Head; Slice index 78; 240x240 px
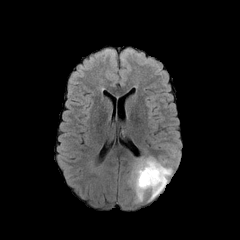
FLAIR MR.
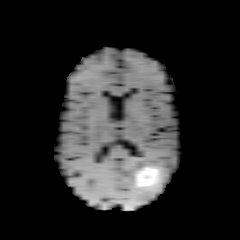
T1-weighted MRI.
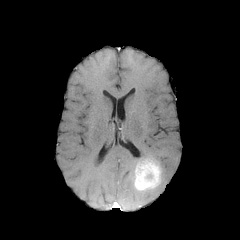
Same slice, post-contrast T1-weighted MR image.
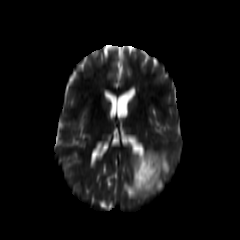
T2-weighted MR image.
{
  "peritumoral_edema": [
    "(129,154,172,201)"
  ],
  "enhancing_tumor": [
    "(134,158,161,191)"
  ]
}